FLAIR magnetic resonance.
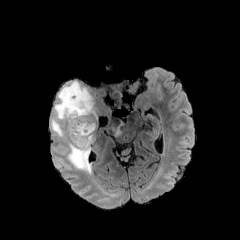
T1-weighted MR image.
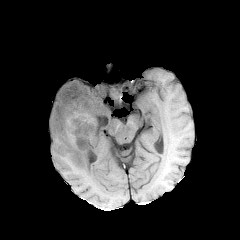
Post-contrast T1-weighted magnetic resonance.
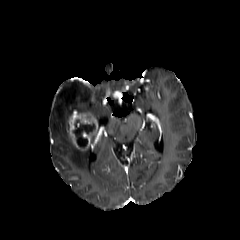
T2-weighted MR.
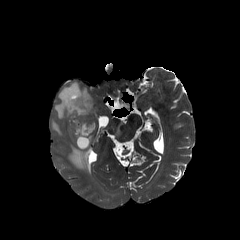
Axial slice
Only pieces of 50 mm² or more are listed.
necrotic tumor core: [73,119,93,147] | enhancing tumor: [69,110,98,149] | peritumoral edema: [51,82,98,173], [111,122,123,136]